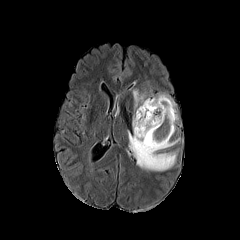
FLAIR magnetic resonance.
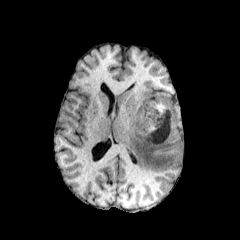
Same slice, T1-weighted magnetic resonance.
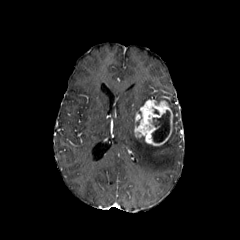
Post-contrast T1-weighted MRI.
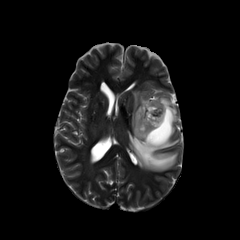
T2-weighted MR image.
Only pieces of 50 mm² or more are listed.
{
  "enhancing_tumor": [
    "[x1=134, y1=98, x2=173, y2=146]"
  ],
  "necrotic_tumor_core": [
    "[x1=152, y1=110, x2=169, y2=142]"
  ],
  "peritumoral_edema": [
    "[x1=132, y1=90, x2=149, y2=131]",
    "[x1=153, y1=93, x2=178, y2=136]",
    "[x1=128, y1=131, x2=179, y2=171]"
  ]
}